FLAIR MR image.
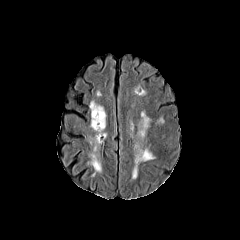
T1-weighted MR image.
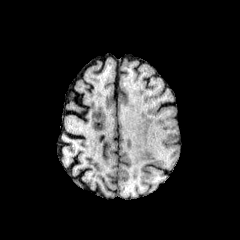
Post-contrast T1-weighted magnetic resonance.
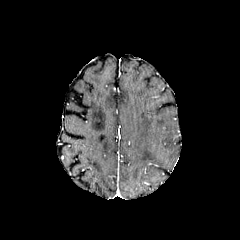
T2-weighted MR.
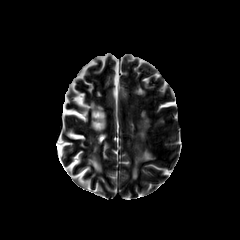
Brain; 240x240
peritumoral edema: bounding box [x1=139, y1=112, x2=149, y2=137], [x1=132, y1=149, x2=153, y2=178]